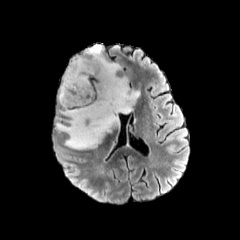
FLAIR MR image.
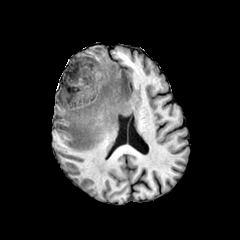
T1-weighted MR.
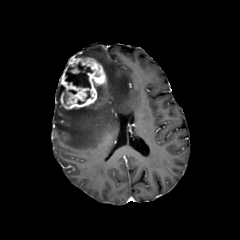
Post-contrast T1-weighted MR.
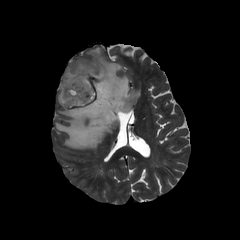
T2-weighted MR.
Brain, Axial plane
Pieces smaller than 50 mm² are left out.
necrotic tumor core at 65, 62, 92, 88
peritumoral edema at 56, 45, 139, 149
enhancing tumor at 60, 56, 107, 109